Axial view. 240x240.
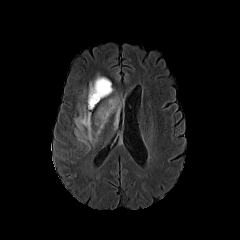
FLAIR MRI.
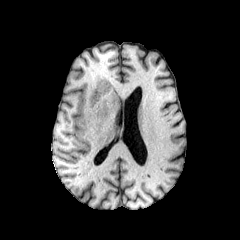
T1-weighted MR.
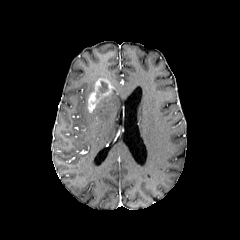
Post-contrast T1-weighted MRI.
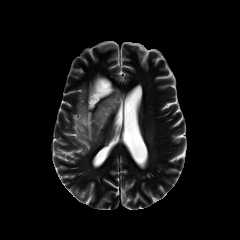
Same slice, T2-weighted MR.
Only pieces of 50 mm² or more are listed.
Annotated regions:
• necrotic tumor core: {"x1": 97, "y1": 81, "x2": 108, "y2": 98}
• peritumoral edema: {"x1": 74, "y1": 96, "x2": 120, "y2": 142}, {"x1": 88, "y1": 75, "x2": 105, "y2": 97}
• enhancing tumor: {"x1": 88, "y1": 78, "x2": 113, "y2": 112}